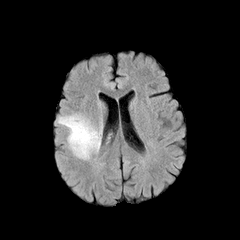
FLAIR magnetic resonance.
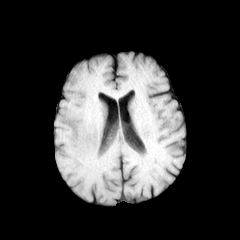
T1-weighted MRI.
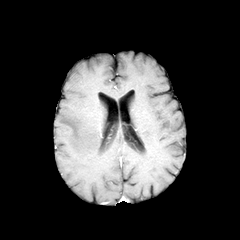
Post-contrast T1-weighted MR image.
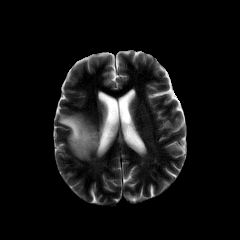
T2-weighted MRI.
Axial plane | 240x240 px
Findings:
* peritumoral edema: [x1=58, y1=114, x2=102, y2=159]